FLAIR MR image.
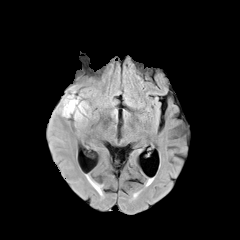
T1-weighted MR image.
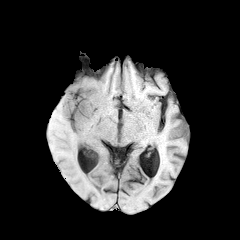
Post-contrast T1-weighted magnetic resonance.
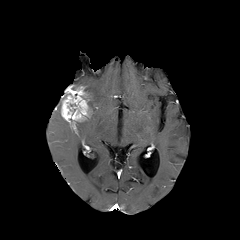
T2-weighted MR image.
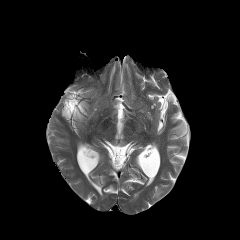
Axial view | Head
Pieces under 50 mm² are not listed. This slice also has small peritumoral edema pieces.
{"enhancing_tumor": ["<box>61,86,89,121</box>"]}